FLAIR MRI.
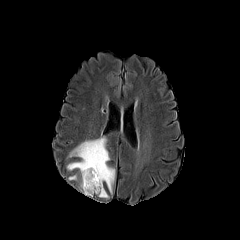
T1-weighted MRI.
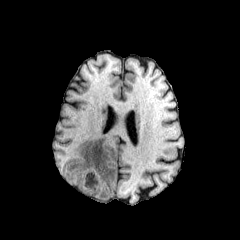
Post-contrast T1-weighted MR.
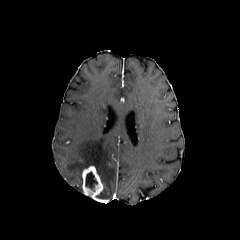
T2-weighted magnetic resonance.
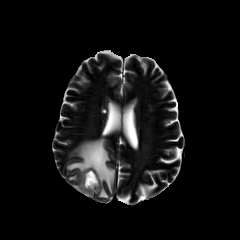
Brain; Axial view; 240x240 px
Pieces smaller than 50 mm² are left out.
peritumoral edema — box(98, 189, 108, 198); box(67, 137, 115, 193)
enhancing tumor — box(82, 166, 103, 197)
necrotic tumor core — box(85, 172, 97, 191)